Image size 240x240 | Head
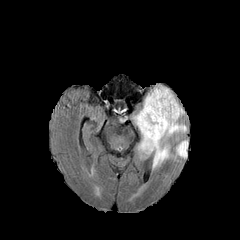
FLAIR MR.
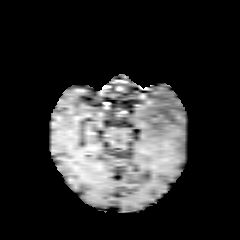
Same slice, T1-weighted magnetic resonance.
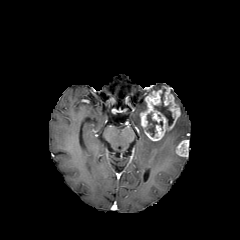
Post-contrast T1-weighted MRI.
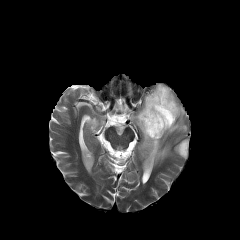
T2-weighted MR image.
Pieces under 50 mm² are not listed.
enhancing tumor: bounding box rect(140, 86, 180, 141); rect(176, 140, 188, 157)
peritumoral edema: bounding box rect(133, 100, 186, 167)
necrotic tumor core: bounding box rect(154, 98, 171, 126); rect(146, 113, 162, 136)